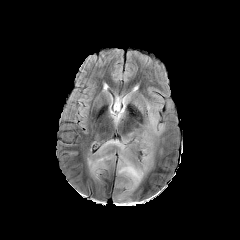
FLAIR MR.
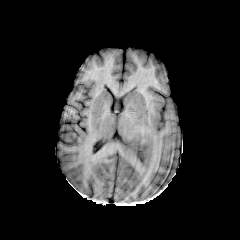
T1-weighted MR.
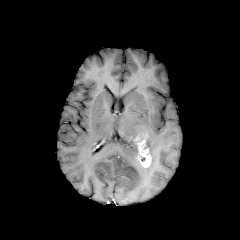
Same slice, post-contrast T1-weighted MR.
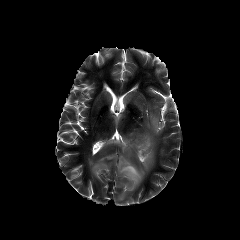
T2-weighted magnetic resonance of the same slice.
Axial plane, Brain
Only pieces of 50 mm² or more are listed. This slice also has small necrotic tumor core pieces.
enhancing_tumor:
  - 134, 135, 151, 167
peritumoral_edema:
  - 99, 103, 164, 191
  - 88, 154, 114, 173